Axial plane | Head | Slice 82/155
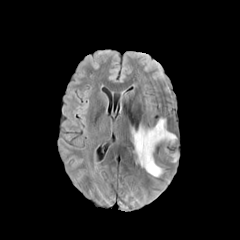
FLAIR MR image.
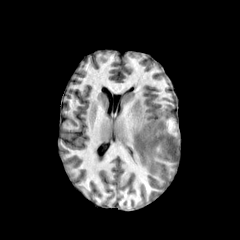
T1-weighted magnetic resonance.
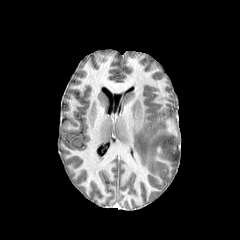
Post-contrast T1-weighted MR.
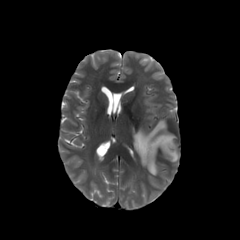
T2-weighted MR.
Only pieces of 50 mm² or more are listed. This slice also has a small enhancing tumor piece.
The necrotic tumor core lies within x1=165, y1=141, x2=177, y2=159. The largest peritumoral edema region is bounded by x1=131, y1=119, x2=176, y2=176.